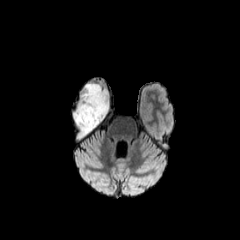
FLAIR MRI.
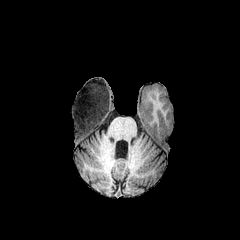
T1-weighted MR.
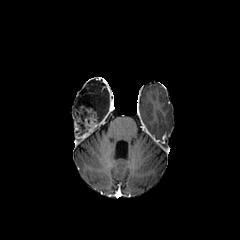
Post-contrast T1-weighted magnetic resonance.
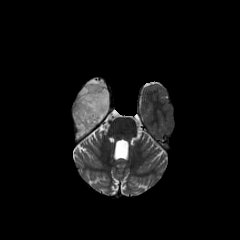
T2-weighted MR.
Head
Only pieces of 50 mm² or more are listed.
enhancing tumor — {"x1": 73, "y1": 105, "x2": 99, "y2": 138}
peritumoral edema — {"x1": 74, "y1": 82, "x2": 109, "y2": 122}
necrotic tumor core — {"x1": 77, "y1": 113, "x2": 88, "y2": 136}